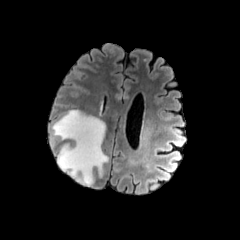
FLAIR MRI.
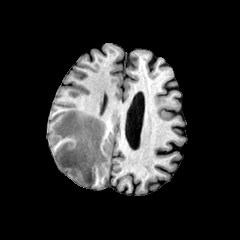
T1-weighted MRI of the same slice.
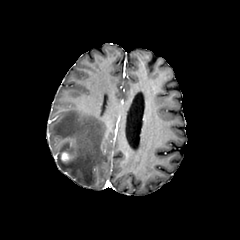
Post-contrast T1-weighted MR image.
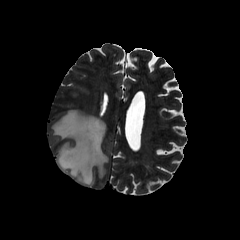
T2-weighted MRI.
Brain
enhancing tumor — (x1=61, y1=152, x2=72, y2=162)
peritumoral edema — (x1=52, y1=110, x2=108, y2=185)